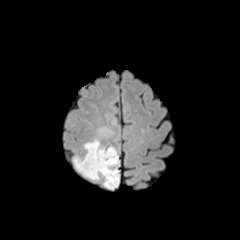
FLAIR MR image.
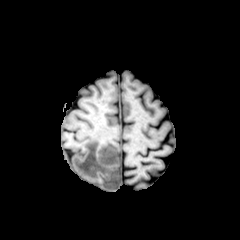
T1-weighted MRI.
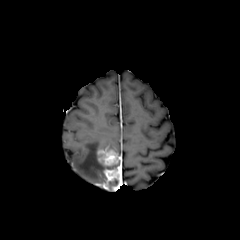
Post-contrast T1-weighted magnetic resonance of the same slice.
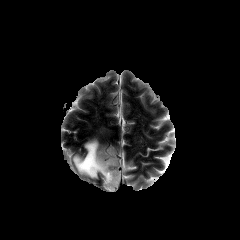
Same slice, T2-weighted MR.
Axial slice, Head
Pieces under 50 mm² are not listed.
necrotic tumor core: l=109, t=179, r=118, b=188
peritumoral edema: l=74, t=140, r=105, b=181
enhancing tumor: l=97, t=149, r=120, b=190